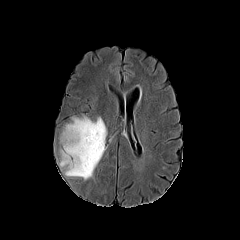
FLAIR MRI.
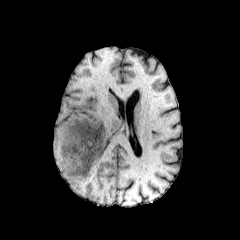
T1-weighted magnetic resonance.
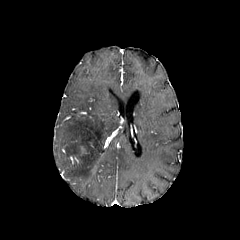
Post-contrast T1-weighted MR.
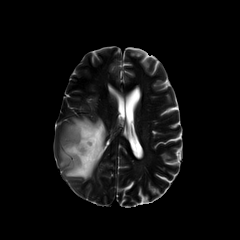
T2-weighted magnetic resonance.
Brain
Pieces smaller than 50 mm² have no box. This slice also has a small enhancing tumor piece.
The peritumoral edema lies within [x1=59, y1=117, x2=106, y2=180].